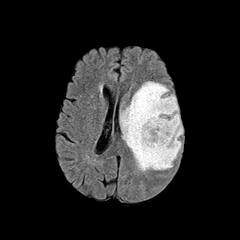
FLAIR magnetic resonance.
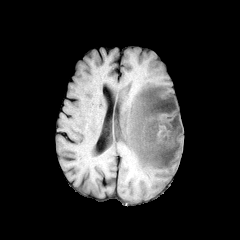
Same slice, T1-weighted MRI.
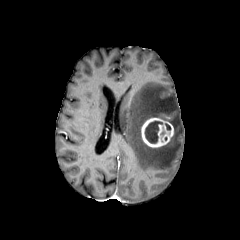
Post-contrast T1-weighted MRI.
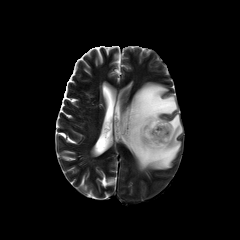
T2-weighted MR image of the same slice.
Head; Axial plane
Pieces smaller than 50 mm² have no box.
peritumoral edema: bounding box bbox(120, 82, 182, 171)
necrotic tumor core: bounding box bbox(145, 121, 162, 143)
enhancing tumor: bounding box bbox(141, 117, 173, 147)